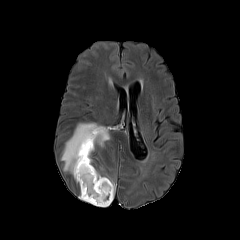
FLAIR MRI.
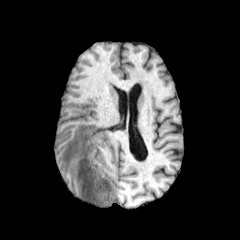
T1-weighted MR image.
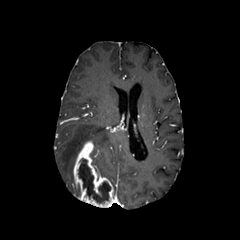
Same slice, post-contrast T1-weighted MRI.
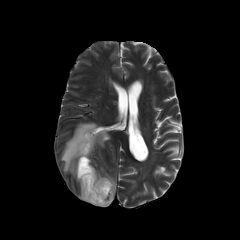
T2-weighted MRI.
Brain
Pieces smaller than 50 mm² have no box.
The largest peritumoral edema region is at 60, 122, 110, 176. The enhancing tumor lies within 73, 140, 113, 207. The necrotic tumor core is bounded by 78, 159, 110, 203.